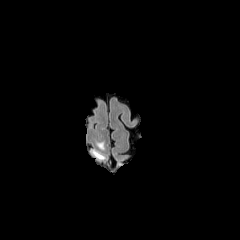
FLAIR MRI.
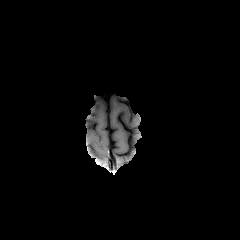
T1-weighted MR image of the same slice.
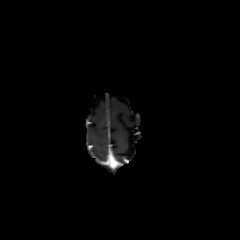
Post-contrast T1-weighted MR.
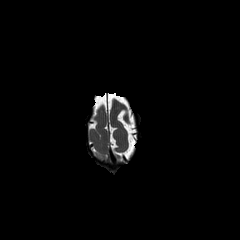
T2-weighted MR image of the same slice.
Brain
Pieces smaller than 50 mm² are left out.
peritumoral edema: bounding box [x1=92, y1=150, x2=105, y2=159]